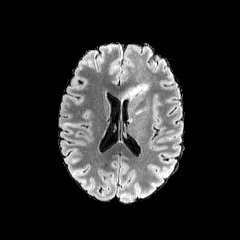
FLAIR MR image.
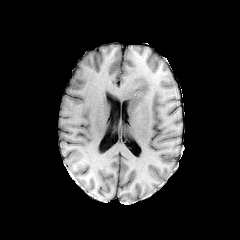
Same slice, T1-weighted MRI.
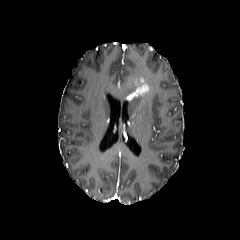
Same slice, post-contrast T1-weighted MR image.
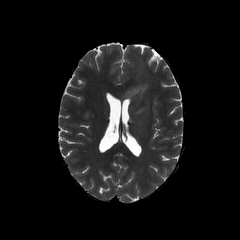
Same slice, T2-weighted magnetic resonance.
Axial slice. 240x240 px.
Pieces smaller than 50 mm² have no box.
peritumoral edema: bounding box (122,74,141,99), (131,59,141,73)
enhancing tumor: bounding box (127,78,148,99)